240x240, Brain
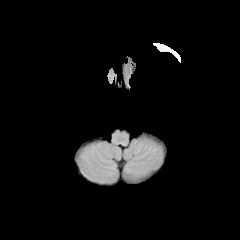
FLAIR magnetic resonance.
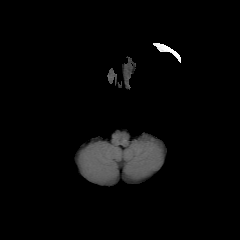
Same slice, T1-weighted MRI.
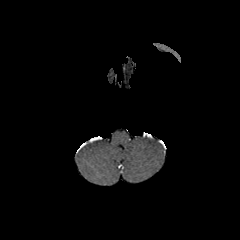
Post-contrast T1-weighted MRI.
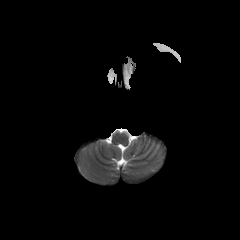
T2-weighted MR image.
peritumoral edema = x1=107 y1=68 x2=116 y2=83